Image size 240x240, Axial view
FLAIR magnetic resonance.
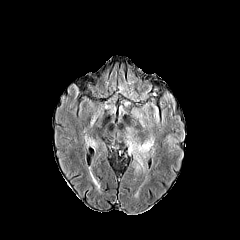
T1-weighted MR image.
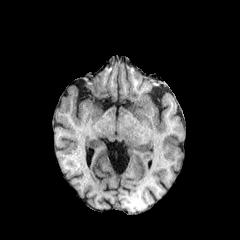
Post-contrast T1-weighted MR.
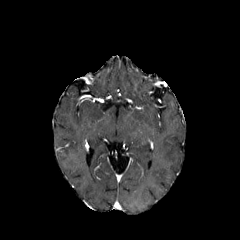
T2-weighted MRI.
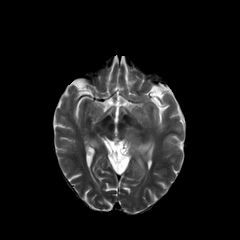
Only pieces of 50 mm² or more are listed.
peritumoral_edema:
  - {"x1": 133, "y1": 155, "x2": 145, "y2": 171}
  - {"x1": 85, "y1": 135, "x2": 97, "y2": 150}
  - {"x1": 131, "y1": 137, "x2": 154, "y2": 157}